Axial view | Brain
FLAIR MRI.
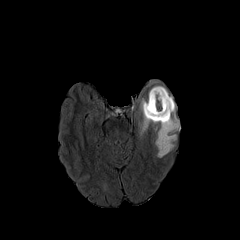
T1-weighted magnetic resonance.
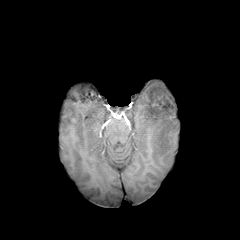
Post-contrast T1-weighted MR image.
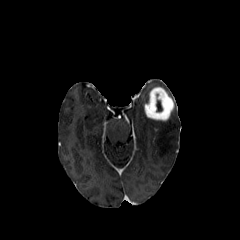
T2-weighted MR.
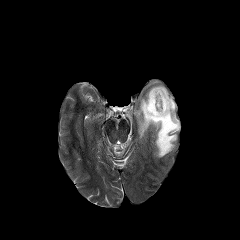
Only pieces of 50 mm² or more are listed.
<segmentation>
  <necrotic_tumor_core>box=[156, 100, 162, 111]</necrotic_tumor_core>
  <enhancing_tumor>box=[144, 87, 174, 120]</enhancing_tumor>
  <peritumoral_edema>box=[137, 92, 179, 157]; box=[149, 81, 166, 90]</peritumoral_edema>
</segmentation>